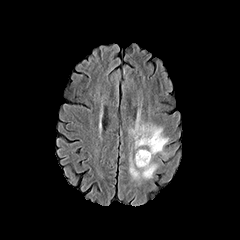
FLAIR MR.
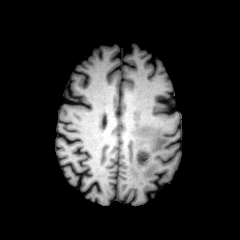
T1-weighted MR image.
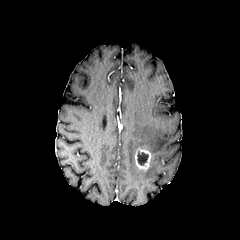
Post-contrast T1-weighted magnetic resonance.
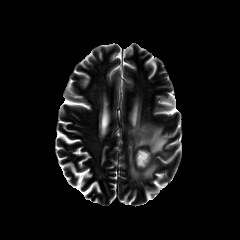
T2-weighted MRI.
Axial plane. 240x240 px.
enhancing_tumor:
  - (134, 149, 150, 170)
necrotic_tumor_core:
  - (137, 151, 148, 165)
peritumoral_edema:
  - (129, 152, 157, 179)
  - (132, 120, 169, 159)